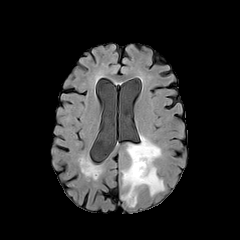
FLAIR MR.
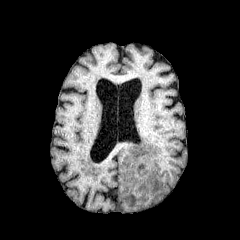
T1-weighted MRI.
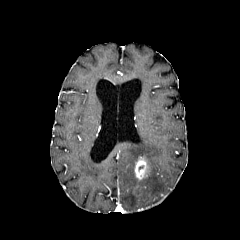
Same slice, post-contrast T1-weighted MRI.
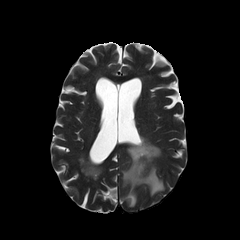
Same slice, T2-weighted MR image.
Axial slice | Brain | 240x240 px
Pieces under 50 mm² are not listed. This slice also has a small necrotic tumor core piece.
• peritumoral edema: (left=122, top=135, right=164, bottom=207)
• enhancing tumor: (left=134, top=156, right=148, bottom=179)